FLAIR magnetic resonance.
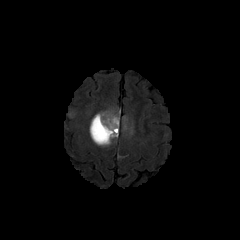
T1-weighted MR.
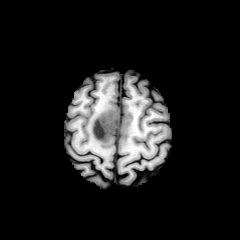
Post-contrast T1-weighted MR.
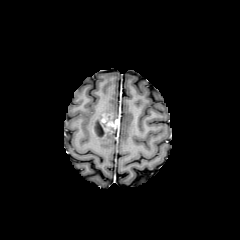
T2-weighted MR.
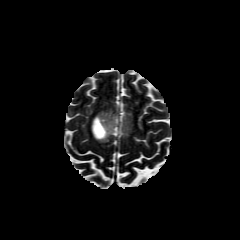
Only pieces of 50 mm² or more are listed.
peritumoral edema = bbox(122, 118, 133, 134); bbox(90, 109, 119, 145)
necrotic tumor core = bbox(94, 119, 105, 137)
enhancing tumor = bbox(92, 114, 119, 139)